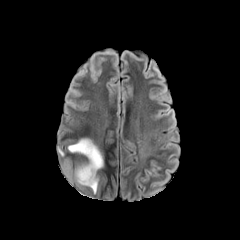
FLAIR MR.
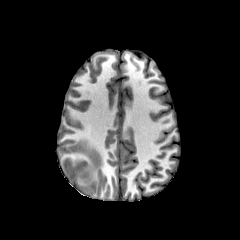
T1-weighted MR of the same slice.
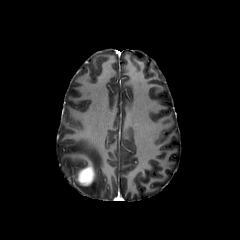
Post-contrast T1-weighted MR.
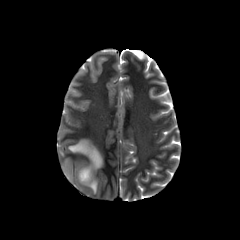
T2-weighted MR of the same slice.
Axial view
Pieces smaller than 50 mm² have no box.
peritumoral edema at left=68, top=138, right=103, bottom=193; left=62, top=163, right=71, bottom=180
enhancing tumor at left=77, top=161, right=94, bottom=185